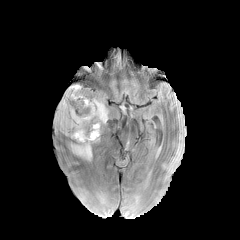
FLAIR MRI.
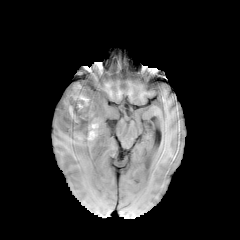
Same slice, T1-weighted MR.
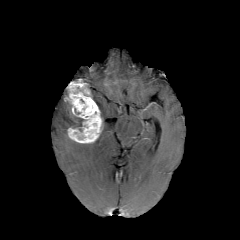
Post-contrast T1-weighted MR.
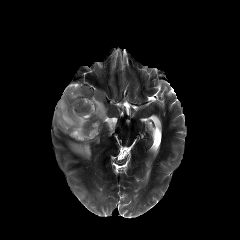
T2-weighted MR.
240x240 px, Brain
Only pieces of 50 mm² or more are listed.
enhancing tumor: 64, 82, 102, 143
necrotic tumor core: 73, 95, 86, 108
peritumoral edema: 92, 97, 107, 123; 70, 143, 91, 159; 56, 98, 83, 134